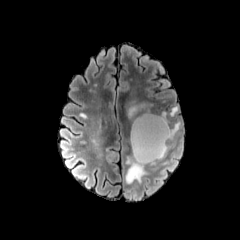
FLAIR MRI.
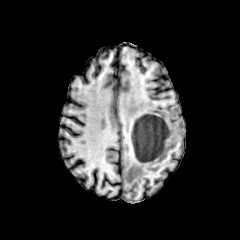
Same slice, T1-weighted MR image.
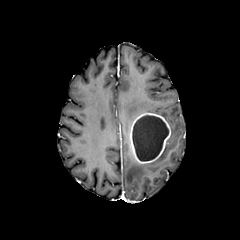
Same slice, post-contrast T1-weighted MRI.
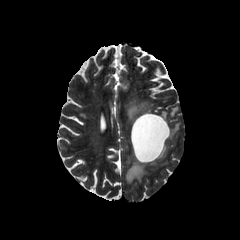
T2-weighted magnetic resonance of the same slice.
Brain
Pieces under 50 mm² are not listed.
Annotated regions:
• enhancing tumor: 130:112:171:163
• peritumoral edema: 148:144:167:164, 169:122:180:138, 125:90:152:123, 170:106:178:116, 126:156:147:183
• necrotic tumor core: 132:115:168:160